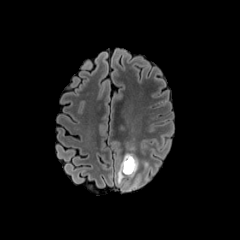
FLAIR MR.
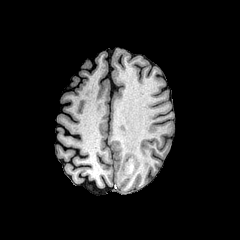
T1-weighted MRI.
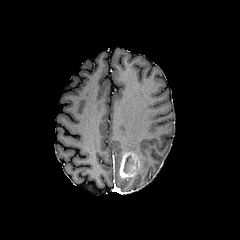
Post-contrast T1-weighted MR image.
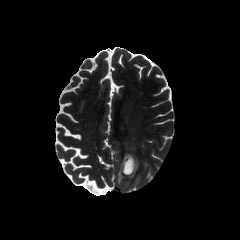
T2-weighted MR image.
240x240.
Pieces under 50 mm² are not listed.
enhancing tumor = 119, 153, 138, 178
necrotic tumor core = 123, 157, 130, 173
peritumoral edema = 117, 163, 124, 185